Axial plane | Image covers 240 mm x 240 mm | Brain
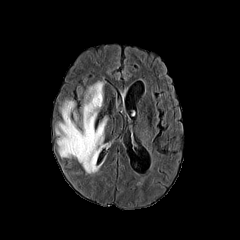
FLAIR magnetic resonance.
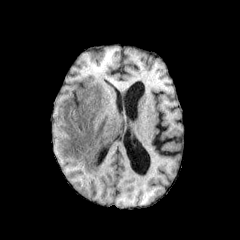
T1-weighted MRI of the same slice.
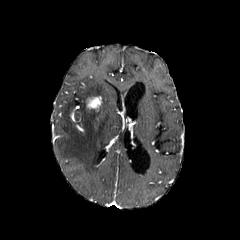
Post-contrast T1-weighted MRI of the same slice.
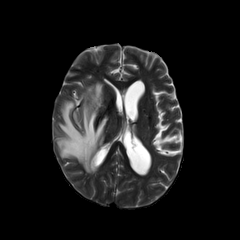
T2-weighted MR of the same slice.
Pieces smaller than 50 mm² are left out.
The largest peritumoral edema region lies within <box>56,81,107,173</box>. The enhancing tumor is bounded by <box>87,96,101,110</box>.